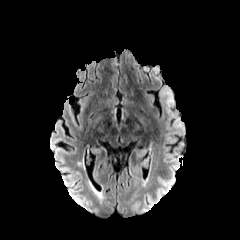
FLAIR MRI.
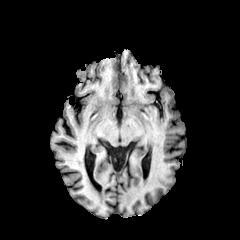
Same slice, T1-weighted MR image.
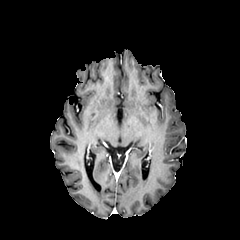
Same slice, post-contrast T1-weighted MRI.
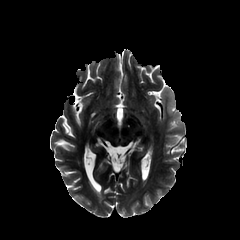
Same slice, T2-weighted MR.
Brain, Axial plane
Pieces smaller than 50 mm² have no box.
peritumoral edema = [x1=159, y1=87, x2=173, y2=104]